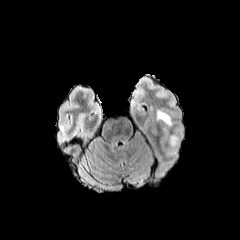
FLAIR MR image.
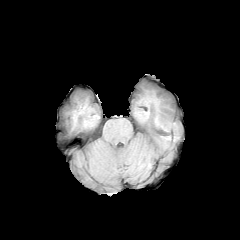
T1-weighted magnetic resonance of the same slice.
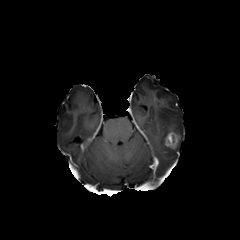
Post-contrast T1-weighted magnetic resonance.
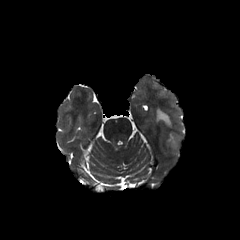
T2-weighted MR image of the same slice.
Image size 240x240. Axial plane.
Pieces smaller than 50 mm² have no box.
{
  "enhancing_tumor": [
    "<bbox>166, 131, 179, 148</bbox>"
  ],
  "peritumoral_edema": [
    "<bbox>157, 110, 171, 126</bbox>"
  ]
}